FLAIR MRI.
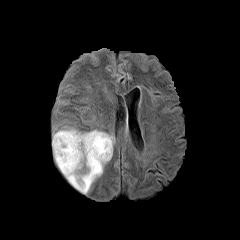
T1-weighted MR.
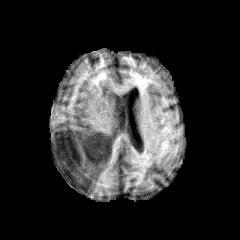
Post-contrast T1-weighted MR image.
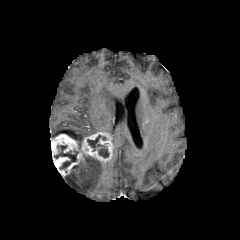
T2-weighted MR.
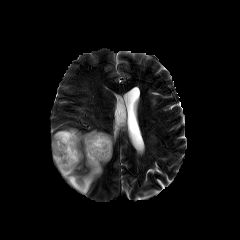
240x240
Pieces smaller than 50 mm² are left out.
Annotated regions:
- necrotic tumor core: left=87, top=135, right=108, bottom=157; left=54, top=145, right=77, bottom=169
- enhancing tumor: left=51, top=132, right=112, bottom=175
- peritumoral edema: left=64, top=155, right=104, bottom=194; left=53, top=128, right=102, bottom=147